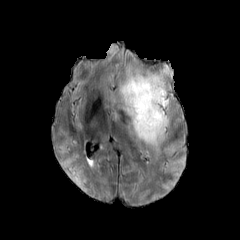
FLAIR MR image.
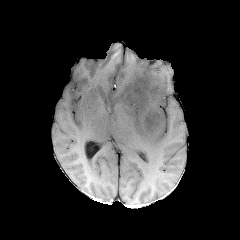
Same slice, T1-weighted MRI.
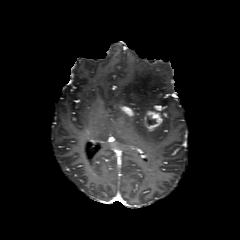
Post-contrast T1-weighted MR of the same slice.
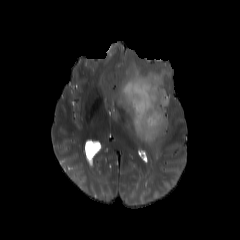
T2-weighted MRI.
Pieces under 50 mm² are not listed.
enhancing tumor = left=121, top=106, right=138, bottom=116; left=144, top=109, right=164, bottom=131
peritumoral edema = left=115, top=66, right=171, bottom=149
necrotic tumor core = left=146, top=116, right=155, bottom=124